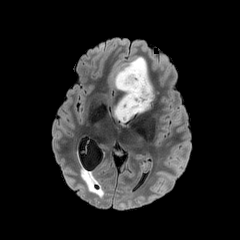
FLAIR MRI.
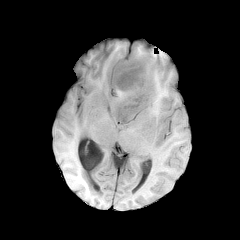
T1-weighted magnetic resonance.
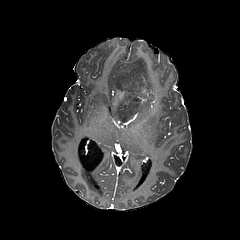
Post-contrast T1-weighted MRI.
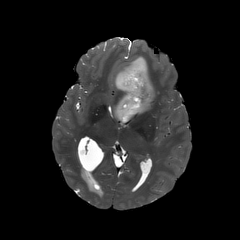
Same slice, T2-weighted MRI.
Head
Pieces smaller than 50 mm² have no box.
{"peritumoral_edema": ["x1=113 y1=56 x2=155 y2=120"], "necrotic_tumor_core": ["x1=118 y1=62 x2=150 y2=123"]}